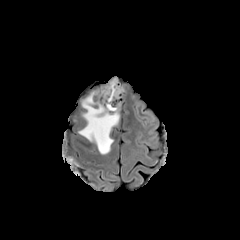
FLAIR magnetic resonance.
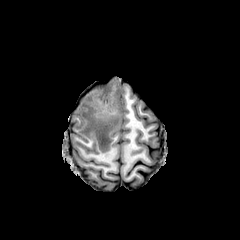
T1-weighted MR image.
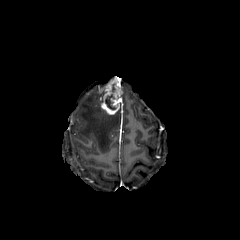
Post-contrast T1-weighted magnetic resonance.
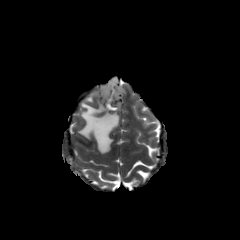
T2-weighted magnetic resonance.
Head
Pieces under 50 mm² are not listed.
necrotic_tumor_core:
  - bbox(105, 94, 115, 109)
peritumoral_edema:
  - bbox(79, 90, 119, 154)
enhancing_tumor:
  - bbox(99, 77, 122, 114)